Slice 81/155, Brain
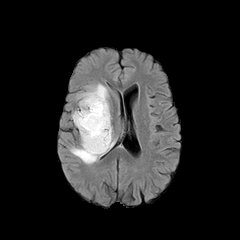
FLAIR magnetic resonance.
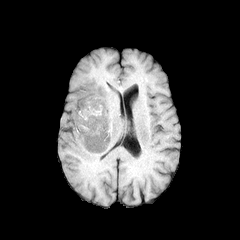
T1-weighted MR.
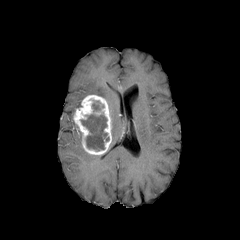
Post-contrast T1-weighted magnetic resonance.
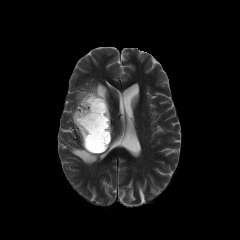
T2-weighted MR.
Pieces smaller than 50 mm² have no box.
* peritumoral edema: 70 131 99 164, 76 83 109 110
* enhancing tumor: 73 94 111 154
* necrotic tumor core: 92 101 103 112, 81 114 109 150